Slice 100 of 155, Axial view
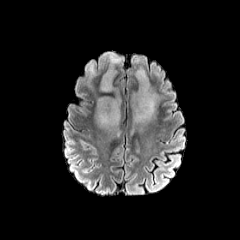
FLAIR magnetic resonance.
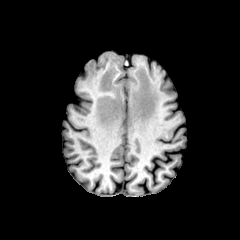
T1-weighted MR image.
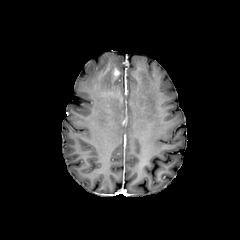
Post-contrast T1-weighted MR image of the same slice.
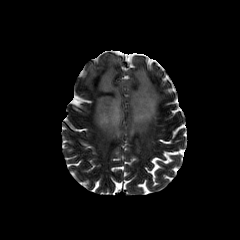
T2-weighted MR image.
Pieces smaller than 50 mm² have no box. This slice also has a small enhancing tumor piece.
peritumoral edema: (x1=132, y1=67, x2=158, y2=130), (x1=96, y1=53, x2=122, y2=133)